FLAIR MR.
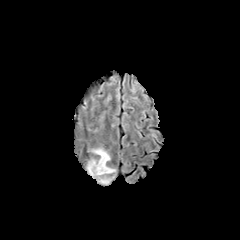
T1-weighted magnetic resonance.
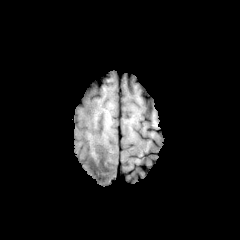
Post-contrast T1-weighted magnetic resonance.
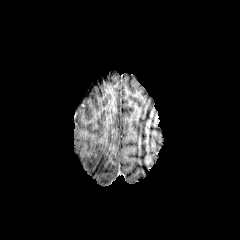
T2-weighted MR image.
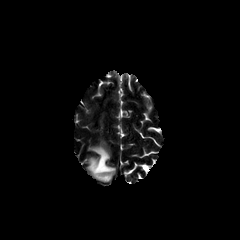
Head. Axial plane. 240x240 px.
- peritumoral edema: box=[87, 147, 115, 183]